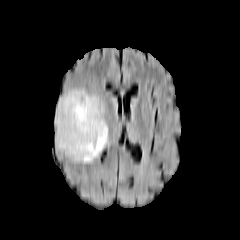
FLAIR MRI.
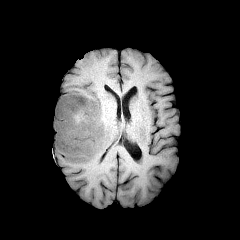
T1-weighted MRI of the same slice.
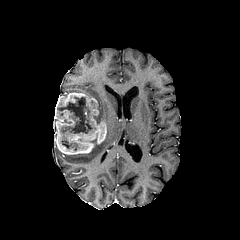
Post-contrast T1-weighted MR image of the same slice.
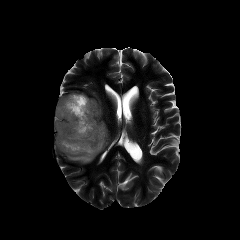
Same slice, T2-weighted MR.
Axial plane
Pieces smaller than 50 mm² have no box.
Segmented structures:
* necrotic tumor core: box(57, 97, 92, 133); box(62, 136, 78, 150)
* peritumoral edema: box(94, 102, 103, 123); box(69, 90, 96, 99); box(67, 126, 108, 163)
* enhancing tumor: box(54, 92, 106, 154)